Image size 240x240, Image width 240 mm, 1.00 mm slice spacing, Head
FLAIR magnetic resonance.
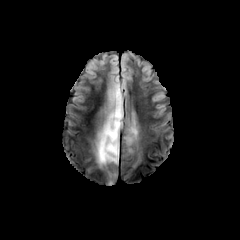
T1-weighted MRI.
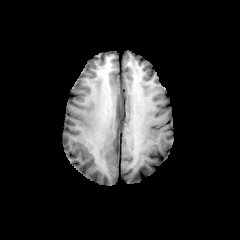
Post-contrast T1-weighted MRI.
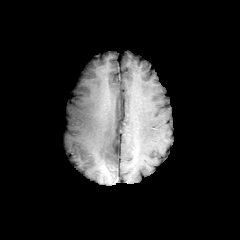
T2-weighted MR.
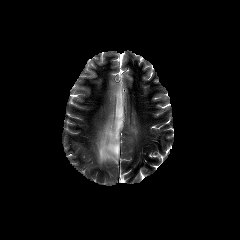
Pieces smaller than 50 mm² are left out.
Annotated regions:
* peritumoral edema: bbox(96, 104, 123, 165)